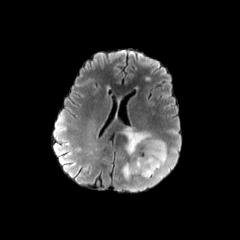
FLAIR MRI.
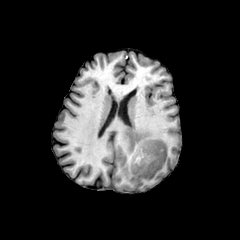
T1-weighted MR.
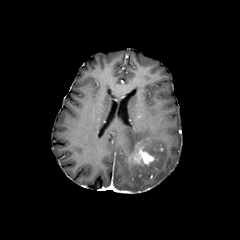
Post-contrast T1-weighted MR image.
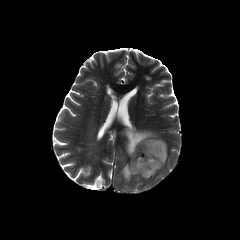
T2-weighted MRI.
Head, Axial view
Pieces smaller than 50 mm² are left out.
The largest peritumoral edema region is bounded by bbox=[121, 127, 167, 180]. The enhancing tumor lies within bbox=[135, 150, 154, 164].